FLAIR MR.
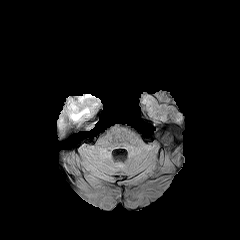
T1-weighted MR image.
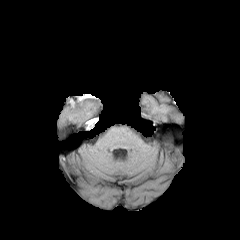
Post-contrast T1-weighted MR.
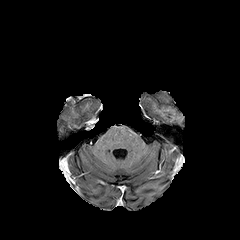
T2-weighted MRI.
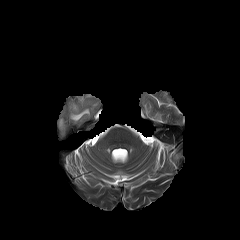
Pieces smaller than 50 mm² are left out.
The largest peritumoral edema region is bounded by {"x1": 68, "y1": 103, "x2": 89, "y2": 121}.